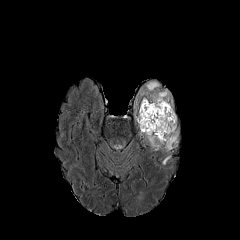
FLAIR MR.
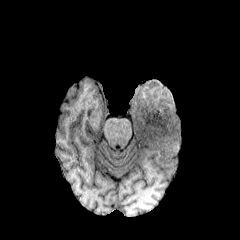
Same slice, T1-weighted MR.
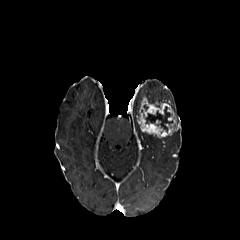
Post-contrast T1-weighted MR image.
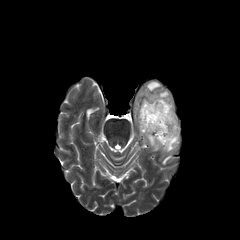
T2-weighted MR image of the same slice.
Axial view; Head
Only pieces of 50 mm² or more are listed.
<segmentation>
  <peritumoral_edema>x1=135 y1=81 x2=178 y2=151</peritumoral_edema>
  <necrotic_tumor_core>x1=145 y1=106 x2=172 y2=131</necrotic_tumor_core>
  <enhancing_tumor>x1=137 y1=97 x2=177 y2=138</enhancing_tumor>
</segmentation>